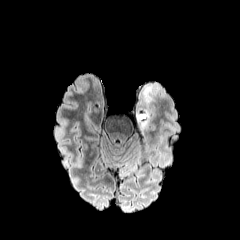
FLAIR MR.
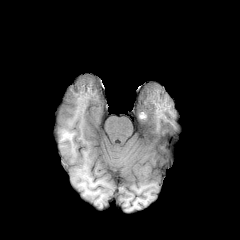
T1-weighted magnetic resonance.
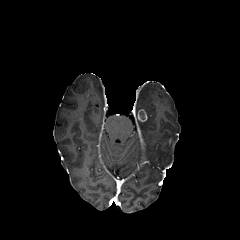
Post-contrast T1-weighted magnetic resonance of the same slice.
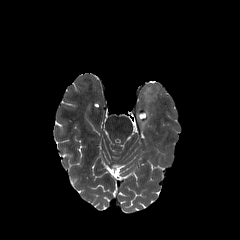
Same slice, T2-weighted magnetic resonance.
Head
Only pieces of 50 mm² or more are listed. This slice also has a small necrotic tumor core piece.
2 peritumoral edema regions are bounded by rect(144, 86, 152, 104); rect(136, 107, 149, 129). The enhancing tumor is located at rect(137, 109, 147, 121).